Image width 240 mm
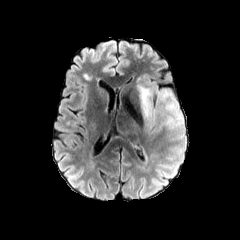
FLAIR magnetic resonance.
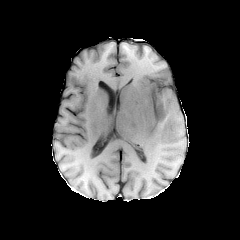
T1-weighted magnetic resonance.
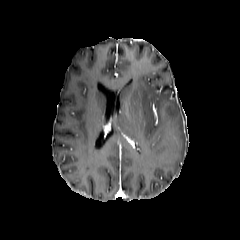
Post-contrast T1-weighted MR.
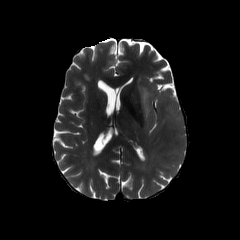
T2-weighted magnetic resonance.
peritumoral edema: [x1=138, y1=76, x2=182, y2=131]